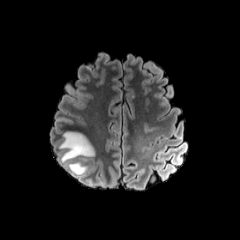
FLAIR magnetic resonance.
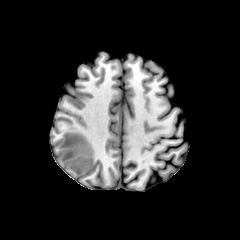
Same slice, T1-weighted magnetic resonance.
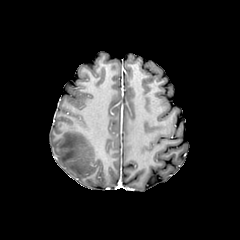
Post-contrast T1-weighted MR.
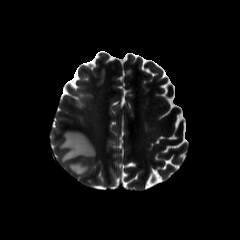
T2-weighted MR of the same slice.
Brain | Image size 240x240 | Axial plane
peritumoral edema — 59:131:95:163, 67:161:88:176